FLAIR MR image.
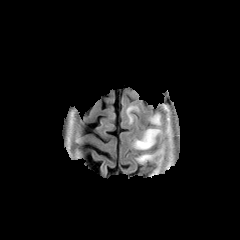
T1-weighted MRI.
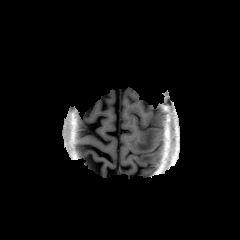
Post-contrast T1-weighted magnetic resonance.
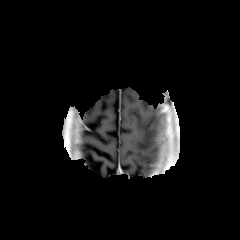
T2-weighted MR image.
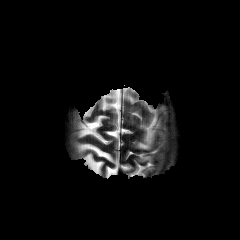
Axial view | Head | 240x240
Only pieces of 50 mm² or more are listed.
{"peritumoral_edema": ["134,128,159,149", "137,154,154,162", "151,115,160,124"]}